FLAIR MR.
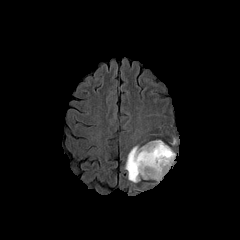
T1-weighted MRI.
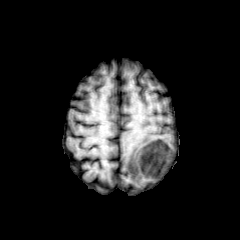
Post-contrast T1-weighted magnetic resonance.
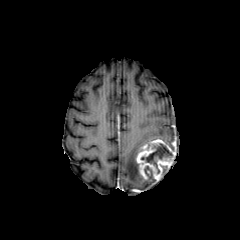
T2-weighted magnetic resonance.
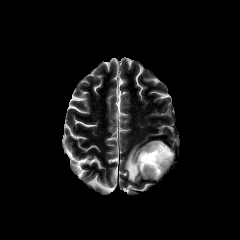
Axial slice, 240x240, Head
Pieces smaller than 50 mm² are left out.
necrotic_tumor_core:
  - bbox=[141, 143, 172, 168]
  - bbox=[144, 166, 152, 177]
enhancing_tumor:
  - bbox=[135, 139, 175, 180]
peritumoral_edema:
  - bbox=[125, 145, 141, 182]